FLAIR MR image.
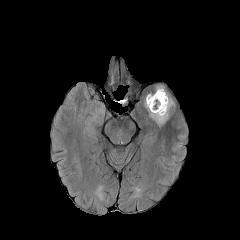
T1-weighted MR.
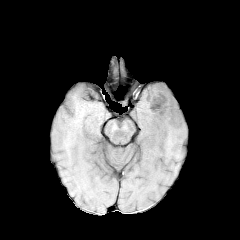
Post-contrast T1-weighted MR image.
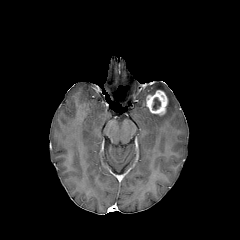
T2-weighted magnetic resonance.
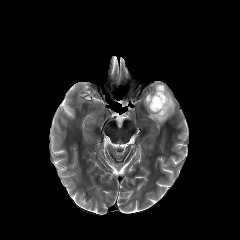
Axial view
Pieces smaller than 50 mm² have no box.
<segmentation>
  <peritumoral_edema>{"x1": 144, "y1": 85, "x2": 174, "y2": 126}</peritumoral_edema>
  <enhancing_tumor>{"x1": 146, "y1": 90, "x2": 167, "y2": 115}</enhancing_tumor>
  <necrotic_tumor_core>{"x1": 152, "y1": 97, "x2": 160, "y2": 109}</necrotic_tumor_core>
</segmentation>